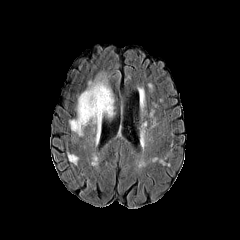
FLAIR magnetic resonance.
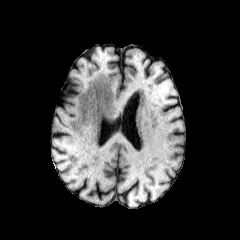
T1-weighted MR.
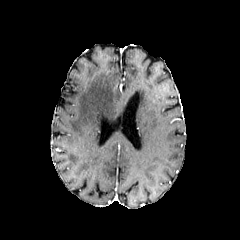
Same slice, post-contrast T1-weighted magnetic resonance.
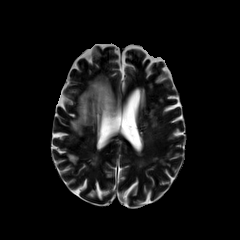
T2-weighted MR of the same slice.
peritumoral edema: 69 73 116 135